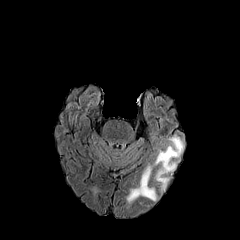
FLAIR MR image.
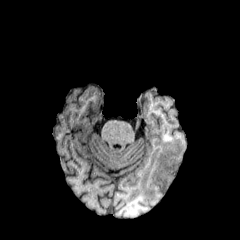
T1-weighted MR of the same slice.
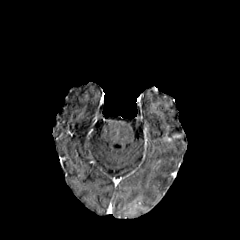
Post-contrast T1-weighted MRI of the same slice.
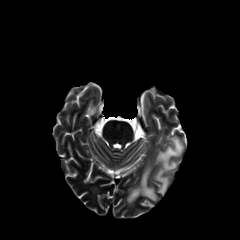
T2-weighted magnetic resonance of the same slice.
peritumoral edema at box(127, 166, 156, 202); box(155, 136, 183, 191)